Head. Image width 240 mm, 1.00 mm slice spacing.
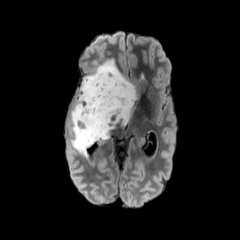
FLAIR MR image.
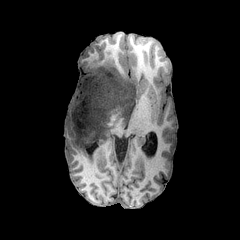
Same slice, T1-weighted MRI.
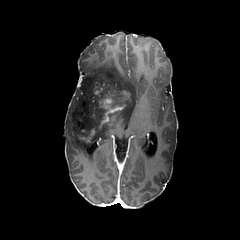
Same slice, post-contrast T1-weighted MR image.
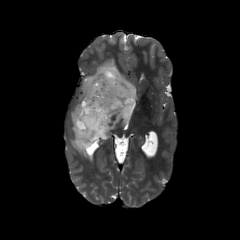
Same slice, T2-weighted magnetic resonance.
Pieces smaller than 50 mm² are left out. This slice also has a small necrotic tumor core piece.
peritumoral edema = box(69, 58, 137, 156)
enhancing tumor = box(76, 120, 87, 139); box(101, 98, 124, 125); box(94, 82, 102, 94)